Brain.
FLAIR MRI.
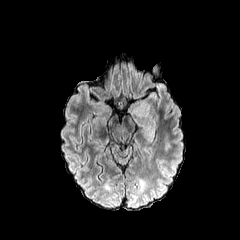
T1-weighted magnetic resonance.
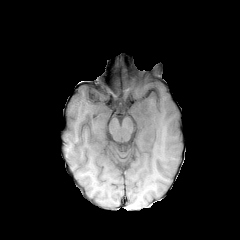
Post-contrast T1-weighted magnetic resonance.
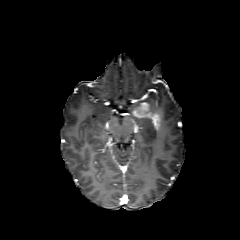
T2-weighted MR.
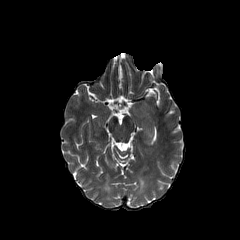
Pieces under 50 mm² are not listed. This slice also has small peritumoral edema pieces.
Annotated regions:
- enhancing tumor: box=[132, 102, 159, 123]